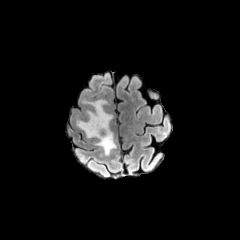
FLAIR MRI.
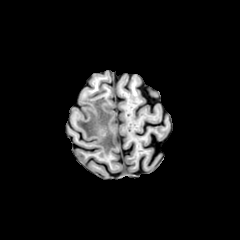
T1-weighted magnetic resonance.
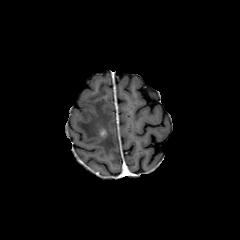
Post-contrast T1-weighted magnetic resonance.
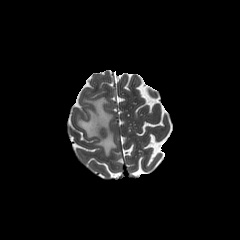
T2-weighted MR.
Brain.
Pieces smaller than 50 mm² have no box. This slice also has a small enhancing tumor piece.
Segmented structures:
- peritumoral edema: [76, 98, 116, 155]